Axial slice
FLAIR MR.
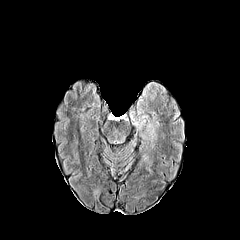
T1-weighted MR.
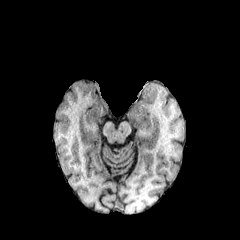
Post-contrast T1-weighted MR image.
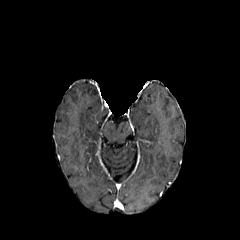
T2-weighted MR image.
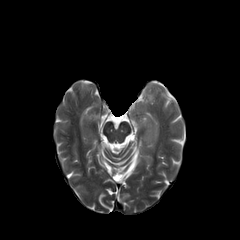
peritumoral_edema:
  - bbox=[133, 120, 142, 129]